FLAIR MR.
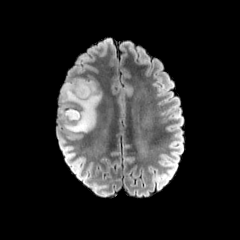
T1-weighted MRI.
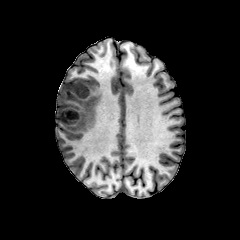
Post-contrast T1-weighted MRI.
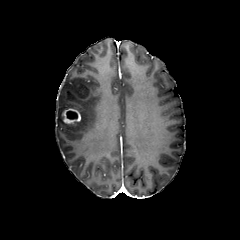
T2-weighted MR image.
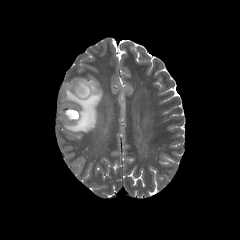
Head; 240x240; Axial view
Segmented structures:
* peritumoral edema: rect(58, 78, 102, 132)
* necrotic tumor core: rect(66, 111, 77, 119)
* enhancing tumor: rect(62, 108, 81, 123)